FLAIR magnetic resonance.
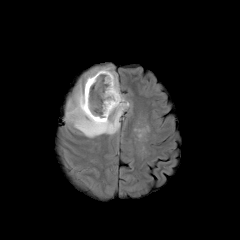
T1-weighted MR image.
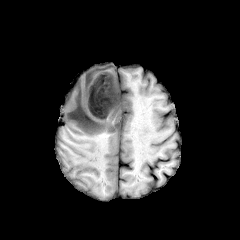
Post-contrast T1-weighted MR.
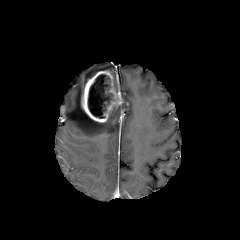
T2-weighted MR.
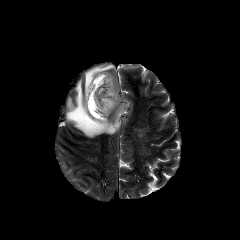
Head, Axial slice
{"necrotic_tumor_core": ["bbox=[88, 74, 107, 118]"], "enhancing_tumor": ["bbox=[81, 70, 123, 122]"], "peritumoral_edema": ["bbox=[62, 64, 130, 137]"]}